Axial view; Brain; Slice 95/155
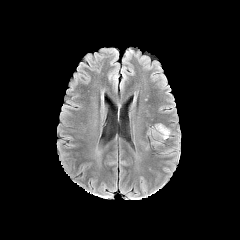
FLAIR MR.
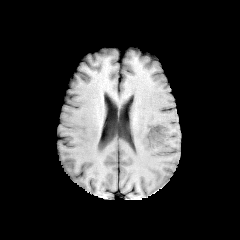
T1-weighted MR image.
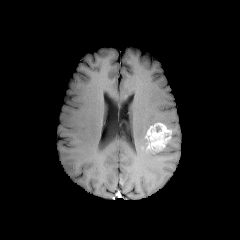
Post-contrast T1-weighted MR image of the same slice.
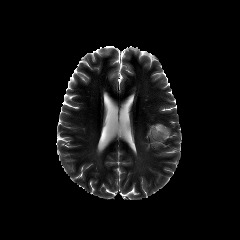
T2-weighted MR.
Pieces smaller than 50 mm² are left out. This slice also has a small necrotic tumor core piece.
• enhancing tumor: 146,123,171,148